Axial slice; Image size 240x240; Brain; Image width 240 mm, 1.00 mm slice spacing
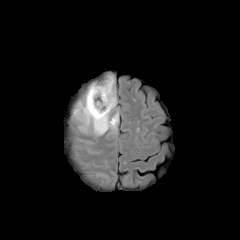
FLAIR MRI.
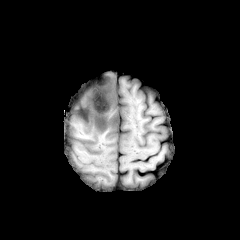
T1-weighted MR image.
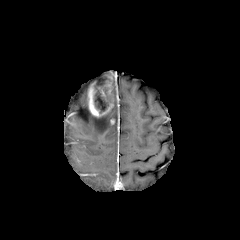
Post-contrast T1-weighted MR image of the same slice.
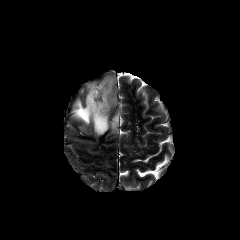
T2-weighted magnetic resonance of the same slice.
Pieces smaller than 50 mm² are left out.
peritumoral edema — {"x1": 64, "y1": 70, "x2": 118, "y2": 136}
enhancing tumor — {"x1": 87, "y1": 76, "x2": 114, "y2": 117}
necrotic tumor core — {"x1": 94, "y1": 91, "x2": 108, "y2": 112}